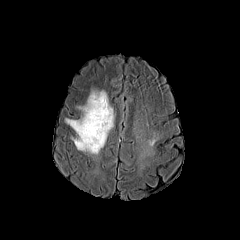
FLAIR MR image.
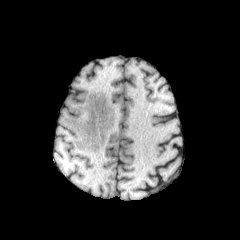
T1-weighted MR of the same slice.
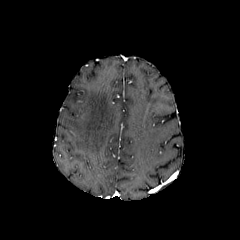
Post-contrast T1-weighted MRI.
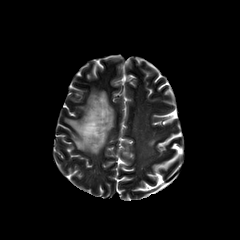
Same slice, T2-weighted MR.
Head.
Annotated regions:
* peritumoral edema: 65, 90, 114, 154